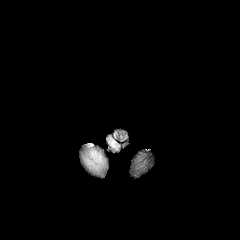
FLAIR MR.
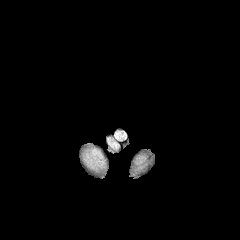
T1-weighted MRI.
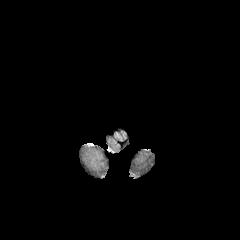
Post-contrast T1-weighted MR of the same slice.
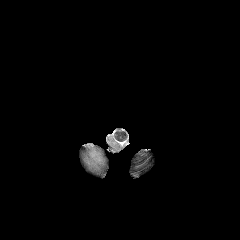
T2-weighted magnetic resonance of the same slice.
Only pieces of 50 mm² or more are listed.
Segmented structures:
• peritumoral edema: left=107, top=136, right=118, bottom=150; left=83, top=146, right=105, bottom=171